FLAIR MRI.
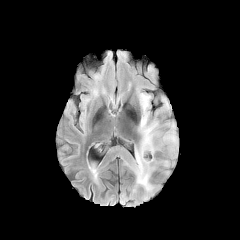
T1-weighted magnetic resonance.
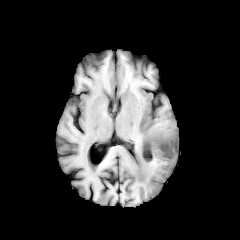
Post-contrast T1-weighted MR.
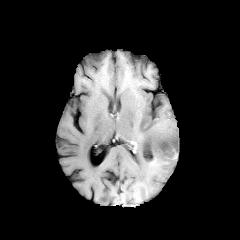
T2-weighted magnetic resonance.
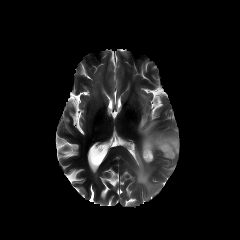
240x240
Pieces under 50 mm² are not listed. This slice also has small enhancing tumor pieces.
{"necrotic_tumor_core": ["l=161, t=144, r=175, b=156"], "peritumoral_edema": ["l=132, t=101, r=178, b=191"]}